FLAIR MR.
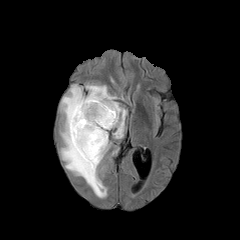
T1-weighted MR.
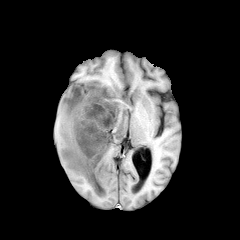
Post-contrast T1-weighted MR image.
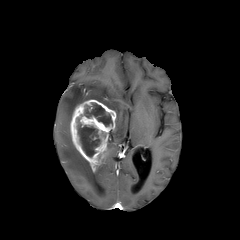
T2-weighted MR.
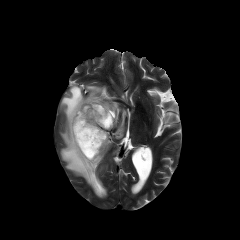
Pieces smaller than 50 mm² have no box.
peritumoral edema: bounding box (x1=60, y1=84, x2=127, y2=197)
enhancing tumor: bounding box (x1=70, y1=99, x2=116, y2=172)
necrotic tumor core: bounding box (x1=84, y1=103, x2=112, y2=126), (x1=78, y1=123, x2=100, y2=156)